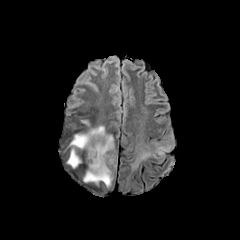
FLAIR magnetic resonance.
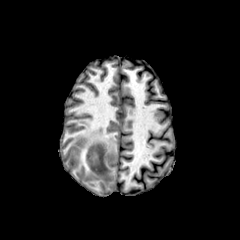
Same slice, T1-weighted MR.
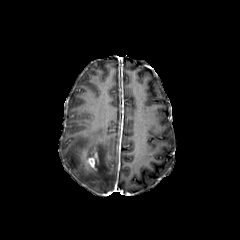
Same slice, post-contrast T1-weighted magnetic resonance.
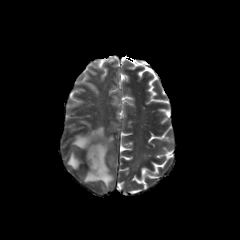
Same slice, T2-weighted magnetic resonance.
Axial slice.
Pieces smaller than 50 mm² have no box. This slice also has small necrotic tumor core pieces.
{"enhancing_tumor": ["87,147,98,169"], "peritumoral_edema": ["64,125,115,187"]}